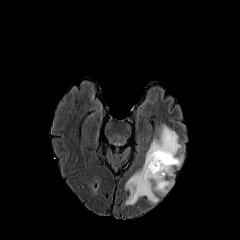
FLAIR MR.
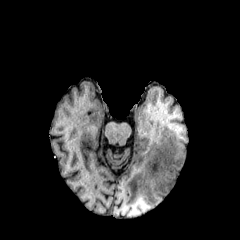
T1-weighted MR image.
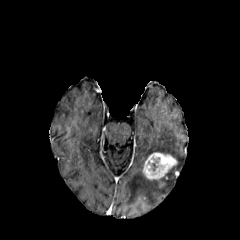
Post-contrast T1-weighted MR image.
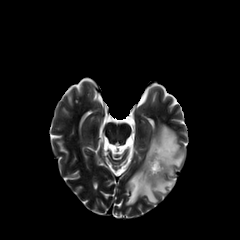
Same slice, T2-weighted MR.
Brain
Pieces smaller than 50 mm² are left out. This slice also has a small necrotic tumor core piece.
peritumoral edema at bbox(145, 124, 183, 167); bbox(125, 168, 173, 204)
enhancing tumor at bbox(143, 152, 177, 179)